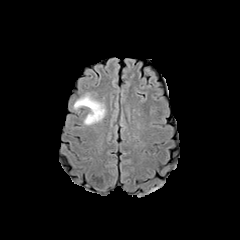
FLAIR MR image.
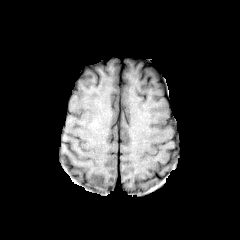
T1-weighted magnetic resonance.
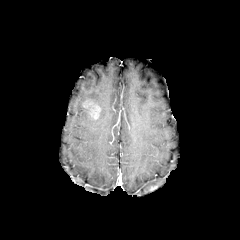
Post-contrast T1-weighted MR.
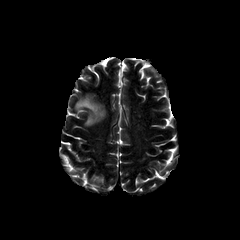
T2-weighted MRI.
Image size 240x240
The peritumoral edema is at box(74, 93, 105, 125). The enhancing tumor is at box(84, 102, 100, 118).